FLAIR MRI.
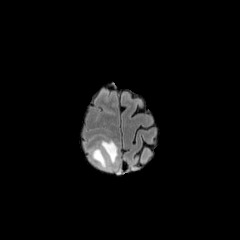
T1-weighted MR image.
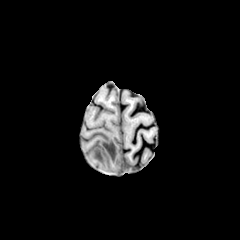
Post-contrast T1-weighted magnetic resonance.
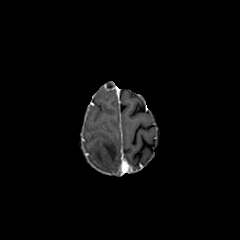
T2-weighted MR.
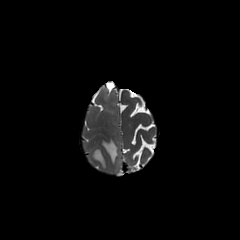
Axial plane | Head
peritumoral edema: (92,139,118,168)